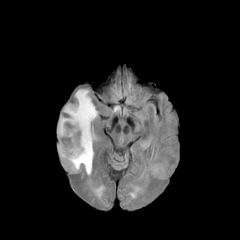
FLAIR MR.
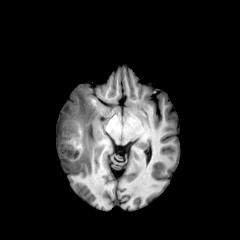
T1-weighted MR image of the same slice.
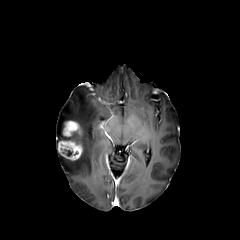
Post-contrast T1-weighted magnetic resonance of the same slice.
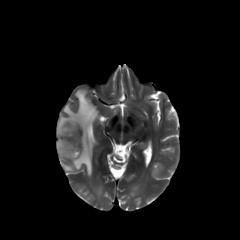
Same slice, T2-weighted MR.
Head, 240x240 px
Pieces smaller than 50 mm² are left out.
necrotic tumor core: (60,133,78,144) | enhancing tumor: (62,120,80,137), (57,140,82,160) | peritumoral edema: (57,89,97,175)